Head | Image size 240x240
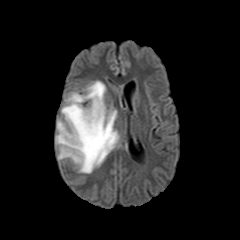
FLAIR MR.
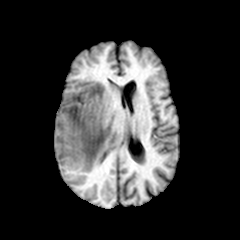
Same slice, T1-weighted MRI.
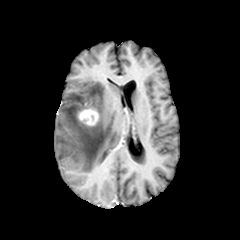
Post-contrast T1-weighted MRI.
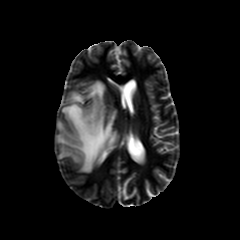
T2-weighted MRI.
peritumoral edema: bounding box x1=55, y1=81, x2=119, y2=173
enhancing tumor: bounding box x1=78, y1=108, x2=98, y2=125